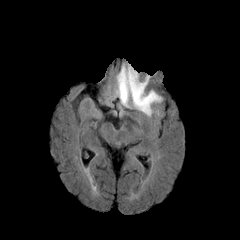
FLAIR MRI.
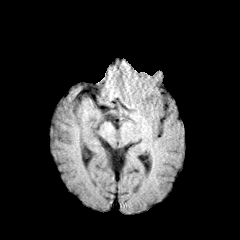
T1-weighted magnetic resonance.
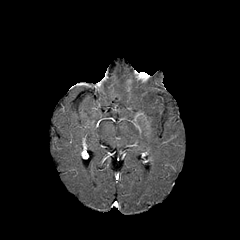
Same slice, post-contrast T1-weighted magnetic resonance.
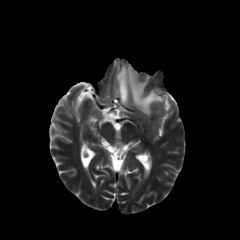
T2-weighted magnetic resonance.
Head; 240x240
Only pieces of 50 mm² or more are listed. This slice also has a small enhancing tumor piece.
peritumoral edema at (left=115, top=65, right=161, bottom=116)